Brain; 240x240 px
FLAIR MR image.
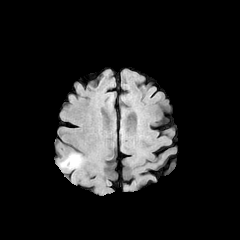
T1-weighted MR image.
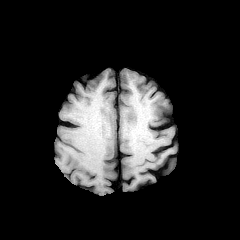
Post-contrast T1-weighted magnetic resonance.
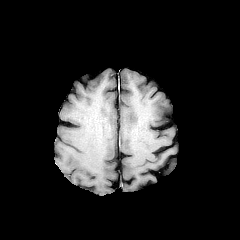
T2-weighted MR image.
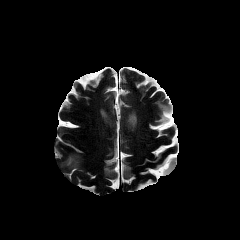
peritumoral edema: 61, 155, 80, 167